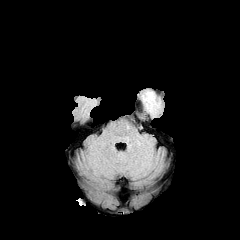
FLAIR MR image.
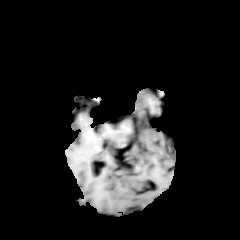
T1-weighted MR image.
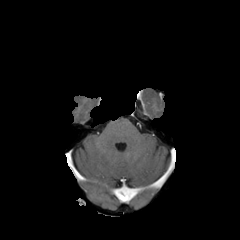
Post-contrast T1-weighted MR image.
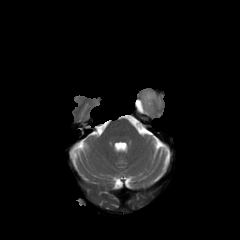
Same slice, T2-weighted MR image.
240x240 px; Head
peritumoral edema = rect(141, 89, 160, 113)